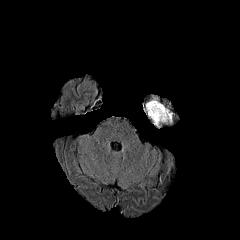
FLAIR MRI.
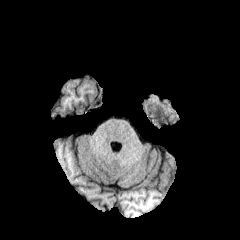
T1-weighted MR image.
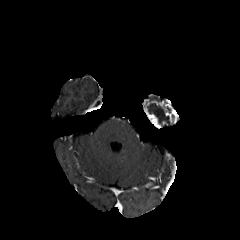
Post-contrast T1-weighted MR image of the same slice.
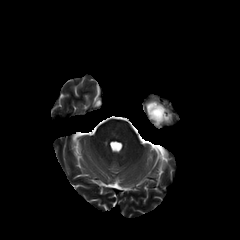
T2-weighted MRI of the same slice.
Image size 240x240
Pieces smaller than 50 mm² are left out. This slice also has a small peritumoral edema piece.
The necrotic tumor core is at (147,103,169,123). The enhancing tumor is at (144,100,173,128).